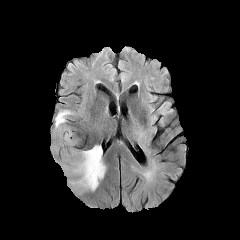
FLAIR magnetic resonance.
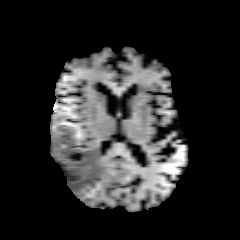
T1-weighted MR.
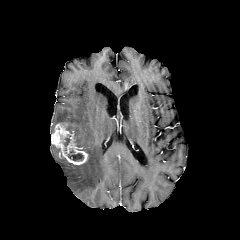
Post-contrast T1-weighted MRI.
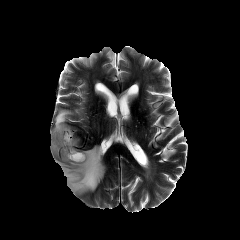
T2-weighted MRI of the same slice.
240x240 px
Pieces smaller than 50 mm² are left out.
enhancing tumor = [x1=51, y1=123, x2=88, y2=165]
peritumoral edema = [x1=55, y1=109, x2=74, y2=125], [x1=55, y1=145, x2=105, y2=193]
necrotic tumor core = [x1=68, y1=153, x2=83, y2=160]